240x240; Head
FLAIR MR.
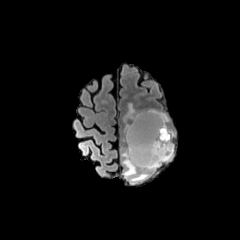
T1-weighted MR.
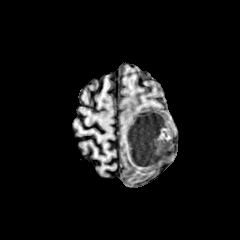
Post-contrast T1-weighted MR image.
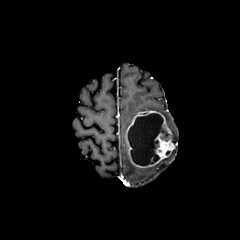
T2-weighted magnetic resonance.
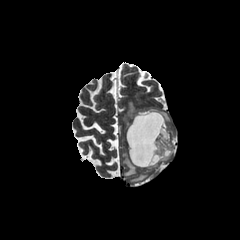
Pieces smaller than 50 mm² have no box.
Annotated regions:
• necrotic tumor core: [128, 113, 171, 165]
• enhancing tumor: [125, 110, 174, 167]
• peritumoral edema: [123, 103, 136, 121], [122, 149, 173, 183]